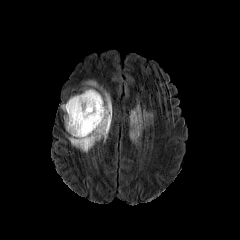
FLAIR MR image.
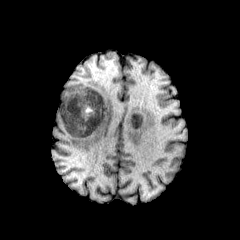
Same slice, T1-weighted magnetic resonance.
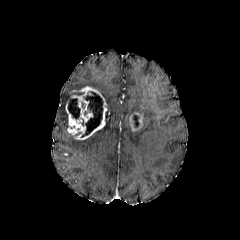
Post-contrast T1-weighted MRI of the same slice.
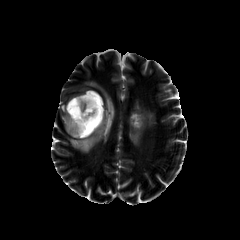
T2-weighted MRI.
240x240 px, Axial plane
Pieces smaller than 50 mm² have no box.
enhancing tumor at x1=129, y1=112, x2=144, y2=131; x1=65, y1=86, x2=107, y2=139
peritumoral edema at x1=68, y1=80, x2=112, y2=152; x1=129, y1=104, x2=153, y2=144
necrotic tumor core at x1=133, y1=115, x2=138, y2=127; x1=81, y1=91, x2=102, y2=137; x1=68, y1=98, x2=80, y2=119